Slice 54 of 155. Head.
FLAIR magnetic resonance.
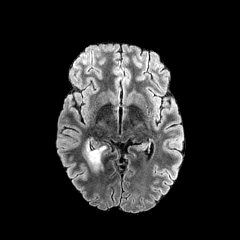
T1-weighted MR.
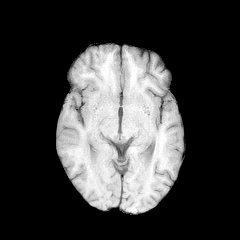
Post-contrast T1-weighted MR image.
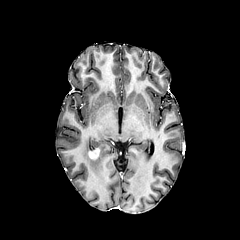
T2-weighted magnetic resonance.
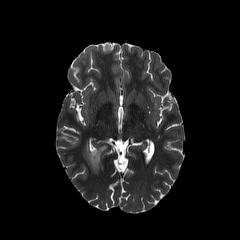
Annotated regions:
• peritumoral edema: [82, 138, 106, 173]
• enhancing tumor: [88, 148, 100, 160]